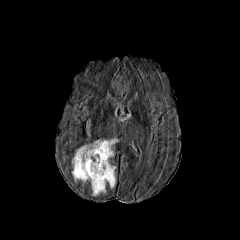
FLAIR MR.
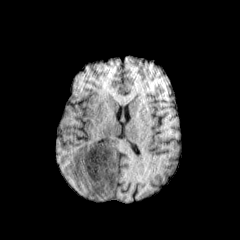
T1-weighted MR of the same slice.
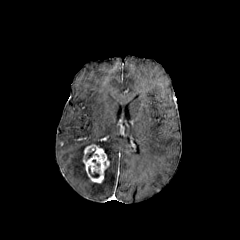
Post-contrast T1-weighted MR.
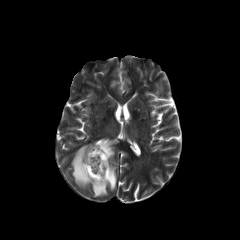
T2-weighted magnetic resonance.
Brain
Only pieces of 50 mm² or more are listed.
{"enhancing_tumor": ["[83, 144, 109, 183]"], "peritumoral_edema": ["[93, 139, 116, 159]", "[72, 144, 115, 196]"], "necrotic_tumor_core": ["[88, 167, 99, 177]"]}